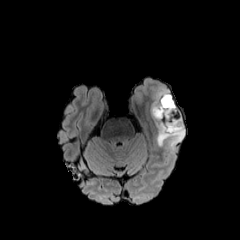
FLAIR MR.
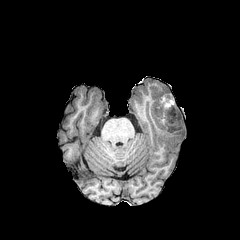
Same slice, T1-weighted MRI.
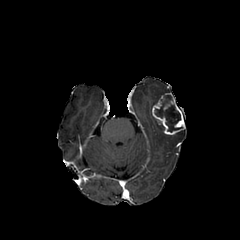
Post-contrast T1-weighted MRI.
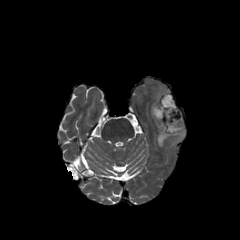
Same slice, T2-weighted magnetic resonance.
Axial plane.
enhancing tumor at 151:93:185:134
peritumoral edema at 153:117:185:150, 151:90:169:110
necrotic tumor core at 154:95:182:132